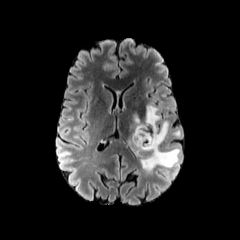
FLAIR MR image.
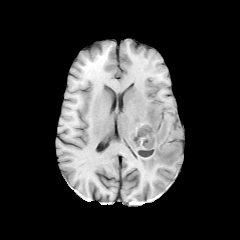
T1-weighted MR.
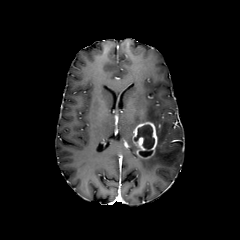
Post-contrast T1-weighted MR.
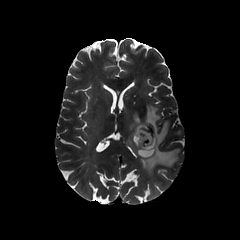
T2-weighted MRI of the same slice.
Brain
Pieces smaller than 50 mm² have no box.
enhancing tumor: x1=133, y1=122, x2=157, y2=158 | peritumoral edema: x1=126, y1=105, x2=180, y2=174 | necrotic tumor core: x1=134, y1=124, x2=154, y2=157